Axial view.
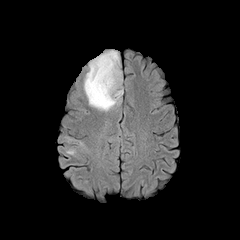
FLAIR MR image.
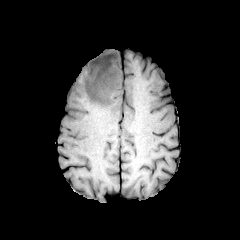
T1-weighted MR image of the same slice.
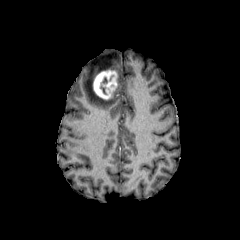
Post-contrast T1-weighted MR.
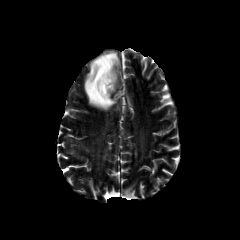
Same slice, T2-weighted MR image.
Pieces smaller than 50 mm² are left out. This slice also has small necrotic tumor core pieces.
enhancing tumor at 93 69 117 100
peritumoral edema at 83 50 123 111